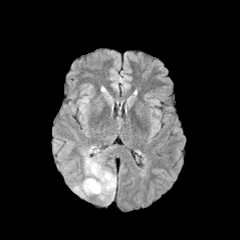
FLAIR MR.
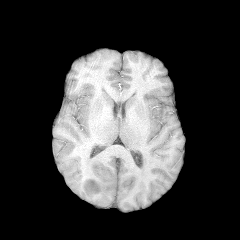
T1-weighted magnetic resonance.
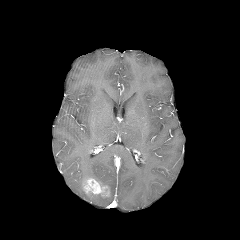
Post-contrast T1-weighted MRI.
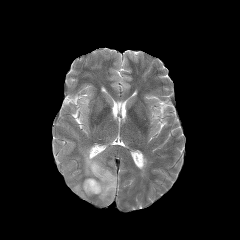
Same slice, T2-weighted MR image.
Brain
The enhancing tumor is located at [83,178,109,196]. The peritumoral edema is bounded by [73,146,116,204].